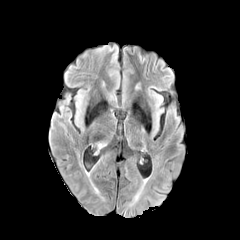
FLAIR MR image.
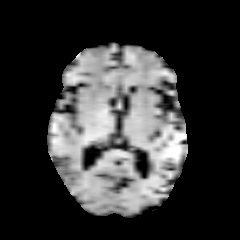
T1-weighted magnetic resonance.
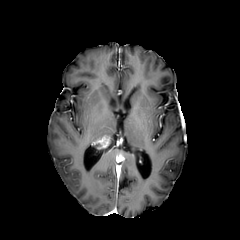
Post-contrast T1-weighted magnetic resonance.
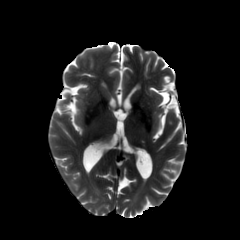
Same slice, T2-weighted MR.
Image size 240x240
The enhancing tumor is bounded by {"x1": 94, "y1": 135, "x2": 111, "y2": 149}.